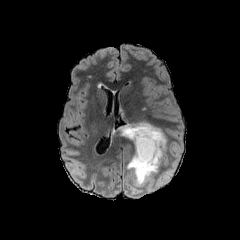
FLAIR MR.
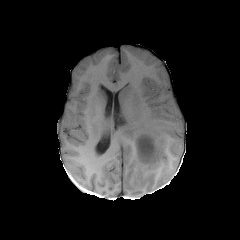
Same slice, T1-weighted magnetic resonance.
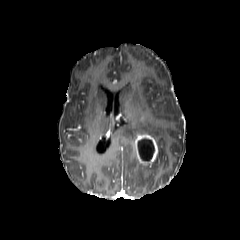
Same slice, post-contrast T1-weighted MRI.
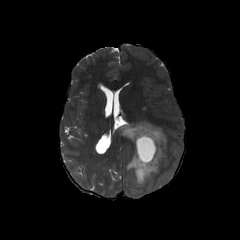
T2-weighted MR image.
Axial plane | Head | 240x240
peritumoral edema: x1=112, y1=121, x2=167, y2=185
necrotic tumor core: x1=138, y1=138, x2=154, y2=161
enhancing tumor: x1=135, y1=134, x2=158, y2=165